240x240 | Image covers 240 mm x 240 mm | Axial slice
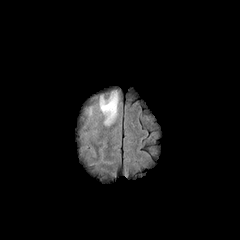
FLAIR MR.
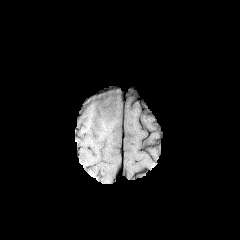
T1-weighted MR image.
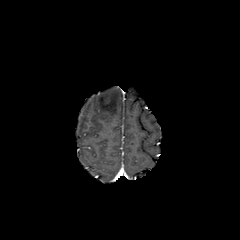
Post-contrast T1-weighted MRI of the same slice.
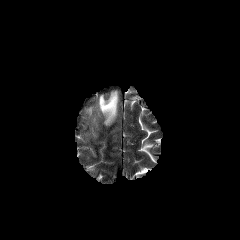
Same slice, T2-weighted magnetic resonance.
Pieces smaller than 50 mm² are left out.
<segmentation>
  <peritumoral_edema>bbox=[99, 91, 118, 125]</peritumoral_edema>
</segmentation>